FLAIR magnetic resonance.
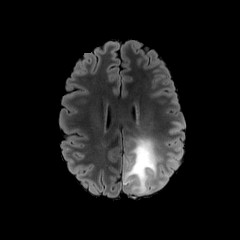
T1-weighted MR image.
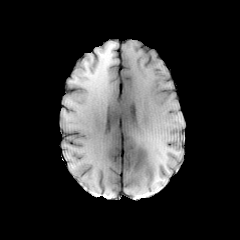
Post-contrast T1-weighted MR.
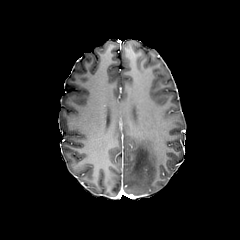
T2-weighted MR.
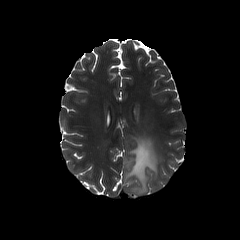
Axial slice
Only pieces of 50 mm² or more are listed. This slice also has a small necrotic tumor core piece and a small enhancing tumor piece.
The peritumoral edema is bounded by 123 137 169 194.